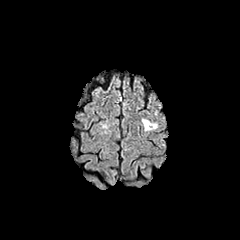
FLAIR MR image.
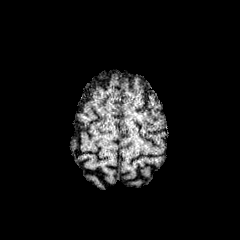
T1-weighted MR image of the same slice.
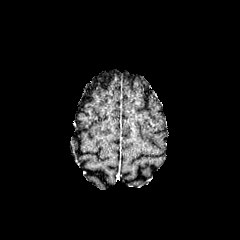
Post-contrast T1-weighted MR of the same slice.
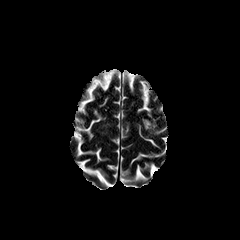
T2-weighted MR image.
Head, Image size 240x240
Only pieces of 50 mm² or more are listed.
peritumoral edema = [142,119,157,130]